Brain | 240x240 px | Axial slice
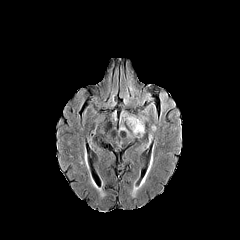
FLAIR MR image.
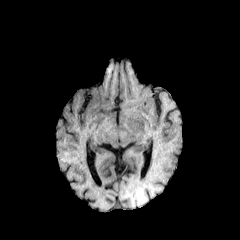
T1-weighted MRI of the same slice.
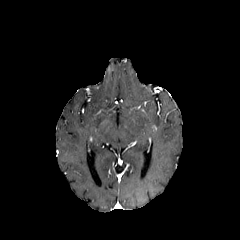
Post-contrast T1-weighted MRI.
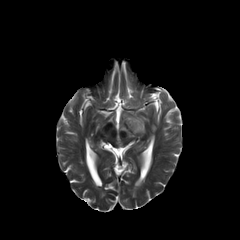
T2-weighted MR of the same slice.
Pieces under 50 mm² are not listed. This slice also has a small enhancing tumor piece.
The largest peritumoral edema region appears at 125, 113, 144, 137.